FLAIR magnetic resonance.
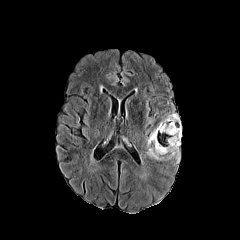
T1-weighted MRI.
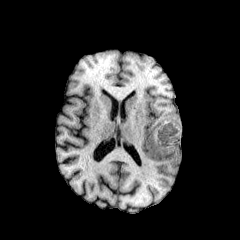
Post-contrast T1-weighted MRI.
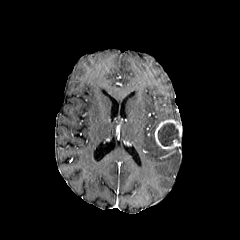
T2-weighted MR image.
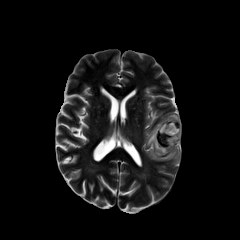
Image size 240x240. Brain.
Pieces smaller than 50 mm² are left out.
<segmentation>
  <enhancing_tumor>[154, 119, 181, 149]</enhancing_tumor>
  <peritumoral_edema>[162, 113, 180, 122], [147, 130, 180, 164]</peritumoral_edema>
  <necrotic_tumor_core>[158, 123, 180, 146]</necrotic_tumor_core>
</segmentation>